Head; Axial view
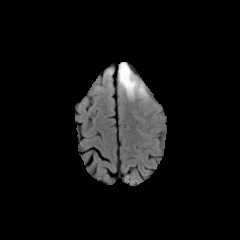
FLAIR MR.
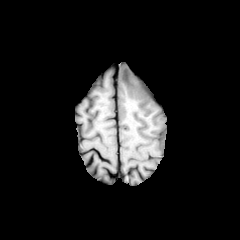
T1-weighted MR image.
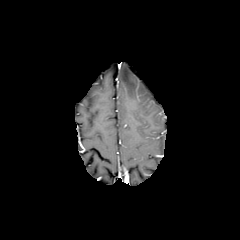
Post-contrast T1-weighted MRI of the same slice.
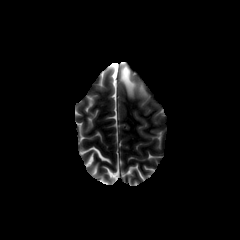
Same slice, T2-weighted magnetic resonance.
peritumoral edema: (119,62,148,99)